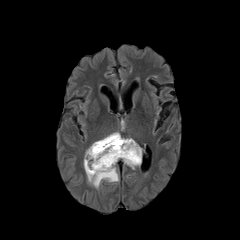
FLAIR MR.
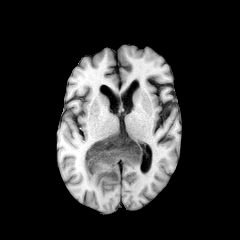
Same slice, T1-weighted MR.
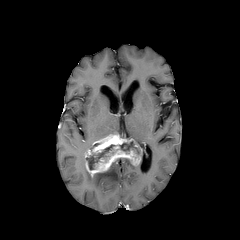
Same slice, post-contrast T1-weighted MR image.
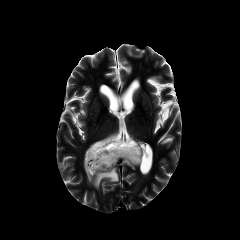
T2-weighted MR image.
Axial slice
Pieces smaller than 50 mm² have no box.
enhancing_tumor:
  - [85, 132, 142, 177]
necrotic_tumor_core:
  - [120, 141, 139, 153]
  - [86, 145, 114, 169]
peritumoral_edema:
  - [83, 155, 119, 189]
  - [123, 159, 136, 169]